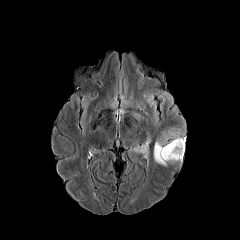
FLAIR MR image.
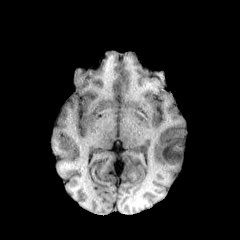
T1-weighted MRI.
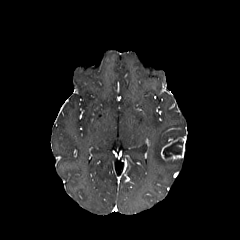
Post-contrast T1-weighted MR image.
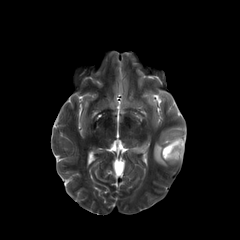
T2-weighted magnetic resonance.
Axial plane
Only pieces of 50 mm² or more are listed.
2 peritumoral edema regions are bounded by 153, 130, 184, 166; 136, 144, 147, 153. The largest enhancing tumor region is bounded by 161, 138, 185, 160. The necrotic tumor core is located at 163, 140, 183, 158.